Brain
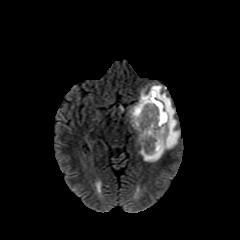
FLAIR MRI.
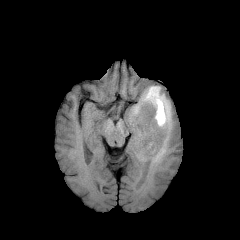
Same slice, T1-weighted MR.
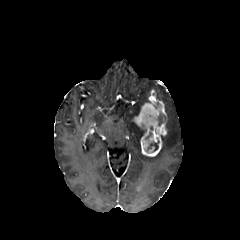
Same slice, post-contrast T1-weighted MRI.
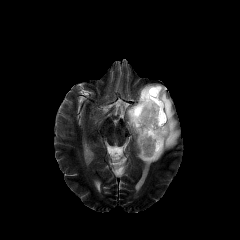
T2-weighted MR.
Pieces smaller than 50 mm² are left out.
{"enhancing_tumor": ["(x1=133, y1=90, x2=167, y2=156)"], "peritumoral_edema": ["(x1=127, y1=84, x2=180, y2=162)"], "necrotic_tumor_core": ["(x1=147, y1=143, x2=158, y2=150)", "(x1=158, y1=113, x2=166, y2=125)"]}